Axial plane
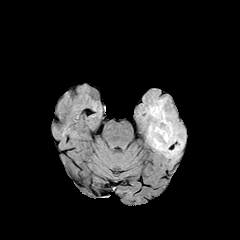
FLAIR MRI.
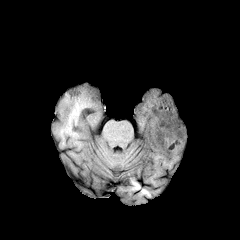
T1-weighted MR.
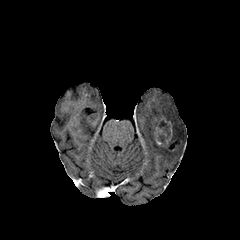
Post-contrast T1-weighted MR image.
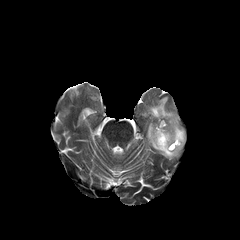
T2-weighted magnetic resonance of the same slice.
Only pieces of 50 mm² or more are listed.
necrotic tumor core = (158,121,170,144)
peritumoral edema = (145,97,185,157)
enhancing tumor = (154,116,172,147)